Axial view; 240x240
FLAIR MR.
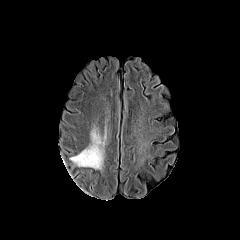
T1-weighted MR.
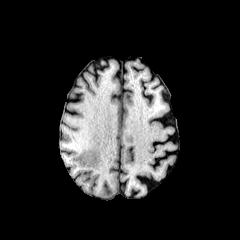
Post-contrast T1-weighted MR.
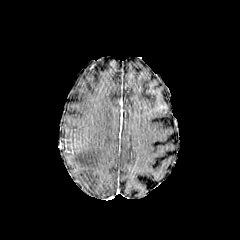
T2-weighted MR.
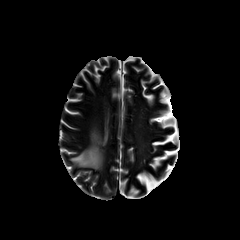
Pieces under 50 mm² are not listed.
peritumoral edema = [70, 130, 102, 168]